FLAIR MRI.
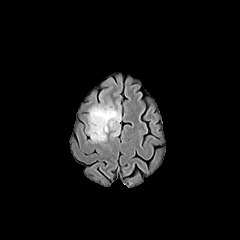
T1-weighted MRI.
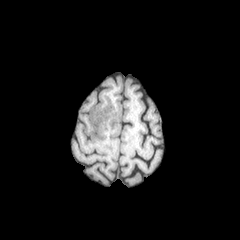
Post-contrast T1-weighted MR.
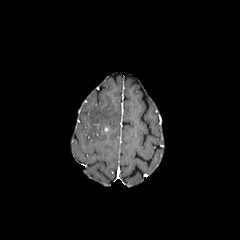
T2-weighted MR image.
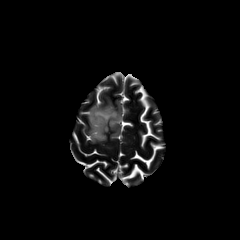
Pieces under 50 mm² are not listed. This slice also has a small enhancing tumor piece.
<segmentation>
  <peritumoral_edema>(x1=87, y1=103, x2=120, y2=142)</peritumoral_edema>
</segmentation>